Image covers 240 mm x 240 mm. Axial view.
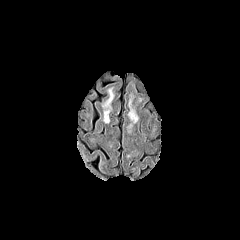
FLAIR MRI.
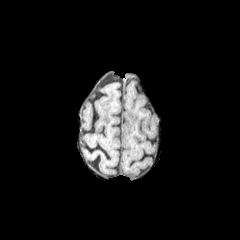
T1-weighted MR image.
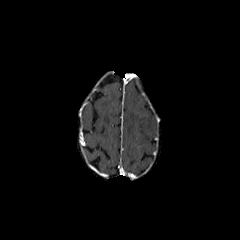
Post-contrast T1-weighted MR.
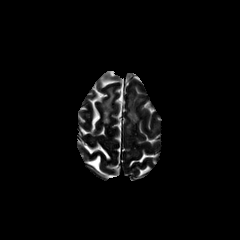
T2-weighted MRI.
peritumoral edema = [128, 111, 138, 122]